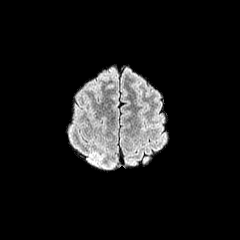
FLAIR MRI.
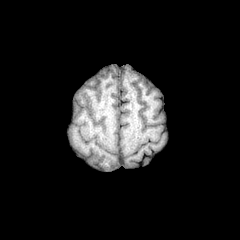
T1-weighted MRI.
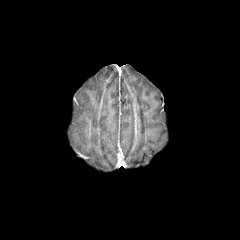
Post-contrast T1-weighted MR.
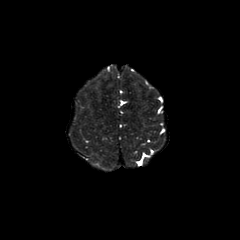
Same slice, T2-weighted MR.
Image size 240x240. Axial view.
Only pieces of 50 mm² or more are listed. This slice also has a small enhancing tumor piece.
The peritumoral edema is at 86,74,108,91.